Image width 240 mm, 1.00 mm slice spacing, Brain, Slice index 97
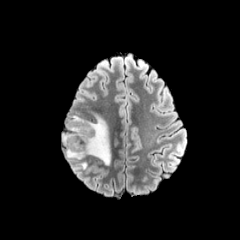
FLAIR MR image.
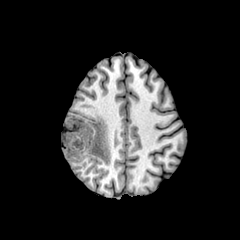
T1-weighted MR image.
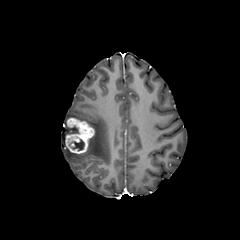
Post-contrast T1-weighted MR image.
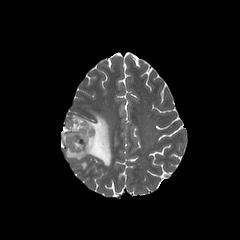
T2-weighted MR image of the same slice.
* enhancing tumor: (left=64, top=117, right=94, bottom=154)
* necrotic tumor core: (left=72, top=139, right=84, bottom=150)
* peritumoral edema: (left=61, top=111, right=110, bottom=168)